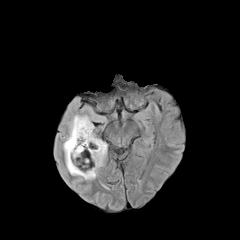
FLAIR MR image.
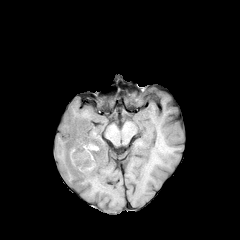
T1-weighted magnetic resonance.
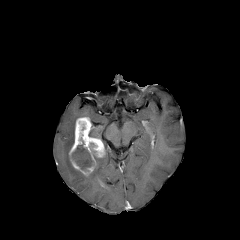
Post-contrast T1-weighted MR image.
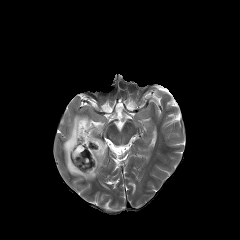
T2-weighted MR image.
240x240 px. Head.
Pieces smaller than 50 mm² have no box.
necrotic_tumor_core:
  - bbox(71, 145, 92, 169)
enhancing_tumor:
  - bbox(69, 117, 105, 176)
peritumoral_edema:
  - bbox(63, 115, 107, 180)